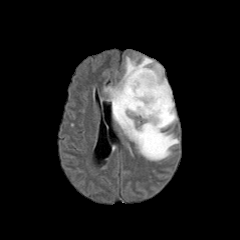
FLAIR MR.
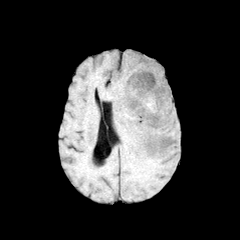
T1-weighted MR image.
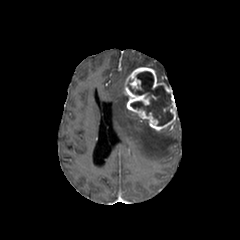
Post-contrast T1-weighted MR image.
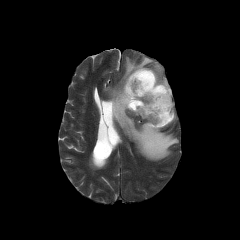
T2-weighted MR.
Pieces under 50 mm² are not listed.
necrotic tumor core = 127, 71, 173, 125
peritumoral edema = 104, 56, 178, 160
enhancing tumor = 124, 67, 176, 131